Image width 240 mm, Slice 131 of 155, Brain
FLAIR MR.
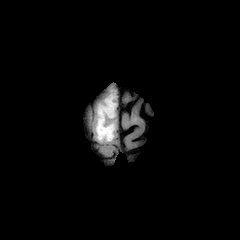
T1-weighted magnetic resonance.
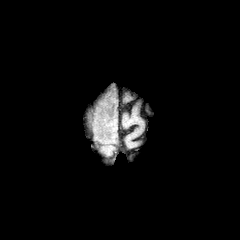
Post-contrast T1-weighted MRI.
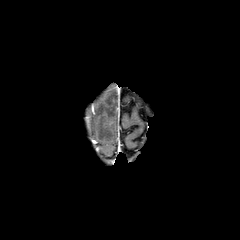
T2-weighted MR image.
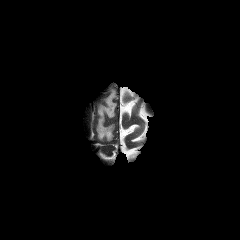
<segmentation>
  <peritumoral_edema>x1=96, y1=91, x2=115, y2=141</peritumoral_edema>
</segmentation>